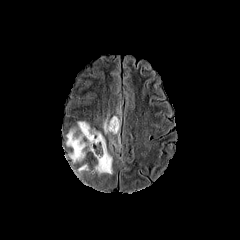
FLAIR MR image.
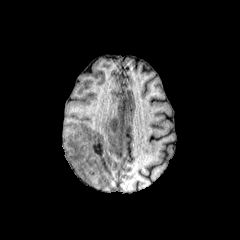
T1-weighted MRI.
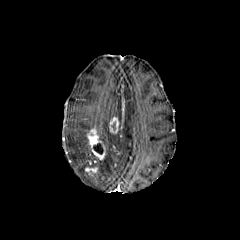
Post-contrast T1-weighted MRI.
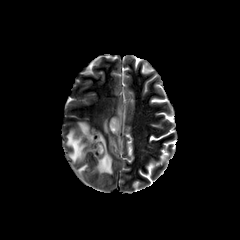
T2-weighted MR.
Head. Axial plane.
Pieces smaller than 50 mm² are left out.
enhancing tumor: bounding box left=109, top=117, right=119, bottom=133; left=85, top=167, right=97, bottom=174; left=86, top=128, right=105, bottom=160
necrotic tumor core: bounding box left=93, top=143, right=103, bottom=154
peritumoral edema: bounding box left=95, top=131, right=112, bottom=174; left=77, top=164, right=87, bottom=175; left=103, top=118, right=111, bottom=133; left=66, top=121, right=91, bottom=163; left=113, top=110, right=120, bottom=147